FLAIR MRI.
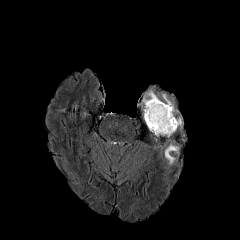
T1-weighted MR.
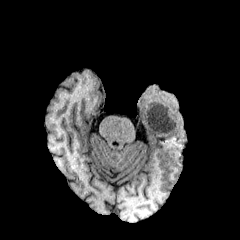
Post-contrast T1-weighted MR image.
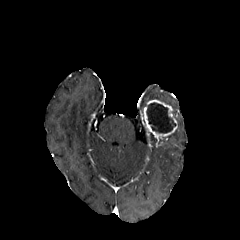
T2-weighted MR image.
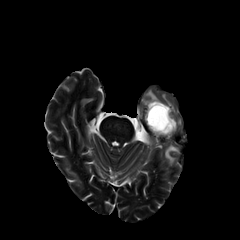
Axial view.
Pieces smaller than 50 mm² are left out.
enhancing_tumor:
  - [x1=143, y1=99, x2=177, y2=138]
necrotic_tumor_core:
  - [x1=146, y1=102, x2=175, y2=133]
peritumoral_edema:
  - [x1=161, y1=93, x2=175, y2=114]
  - [x1=143, y1=89, x2=159, y2=106]
  - [x1=164, y1=144, x2=179, y2=164]